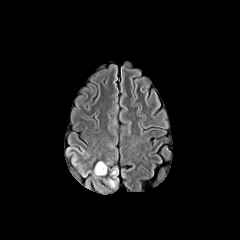
FLAIR magnetic resonance.
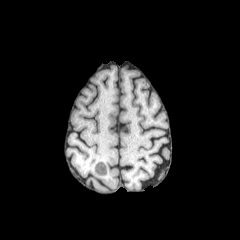
T1-weighted MR.
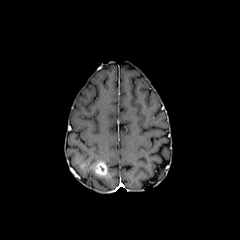
Post-contrast T1-weighted magnetic resonance.
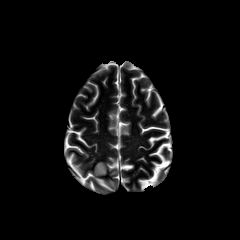
T2-weighted MRI.
Axial view
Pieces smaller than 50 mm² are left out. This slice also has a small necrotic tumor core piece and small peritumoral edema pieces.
<segmentation>
  <enhancing_tumor>[x1=95, y1=161, x2=107, y2=176]</enhancing_tumor>
</segmentation>